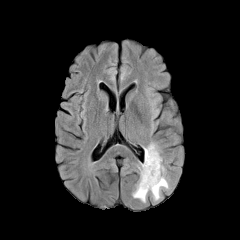
FLAIR MR image.
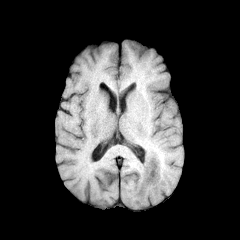
Same slice, T1-weighted magnetic resonance.
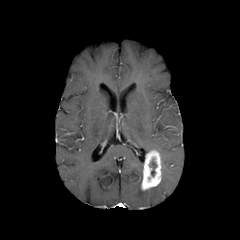
Post-contrast T1-weighted MR.
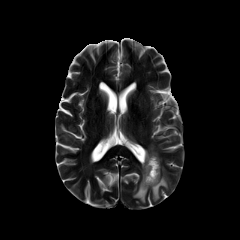
Same slice, T2-weighted MR image.
240x240. Axial plane.
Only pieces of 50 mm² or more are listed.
* peritumoral edema: [x1=132, y1=163, x2=169, y2=202], [x1=144, y1=142, x2=159, y2=155]
* necrotic tumor core: [x1=150, y1=159, x2=156, y2=176]
* enhancing tumor: [x1=141, y1=150, x2=161, y2=190]